FLAIR MRI.
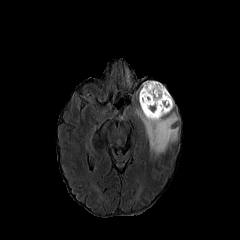
T1-weighted magnetic resonance.
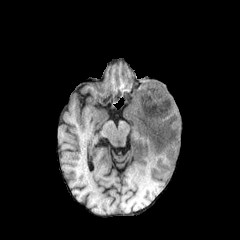
Post-contrast T1-weighted MR.
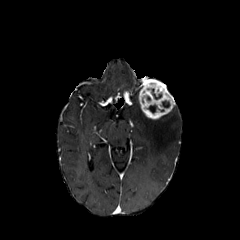
T2-weighted magnetic resonance.
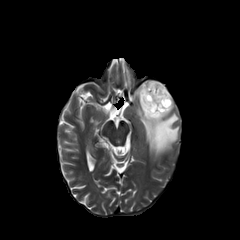
Axial view
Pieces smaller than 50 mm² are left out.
enhancing tumor: region(138, 79, 175, 119)
peritumoral edema: region(136, 106, 179, 157); region(126, 69, 130, 85)
necrotic tumor core: region(148, 105, 156, 112)